Image size 240x240
FLAIR MR.
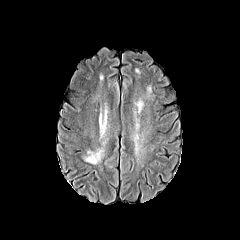
T1-weighted magnetic resonance.
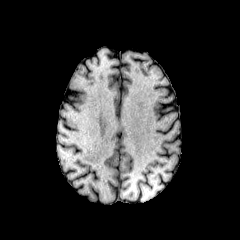
Post-contrast T1-weighted MRI.
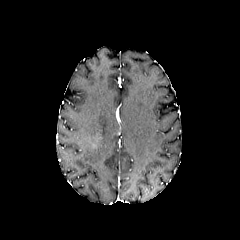
T2-weighted MR.
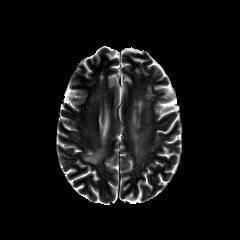
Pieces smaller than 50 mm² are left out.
peritumoral_edema:
  - [99, 121, 106, 139]
  - [84, 147, 104, 164]